FLAIR MR image.
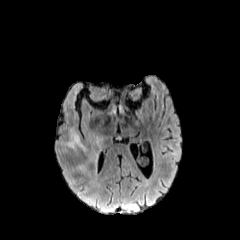
T1-weighted MR.
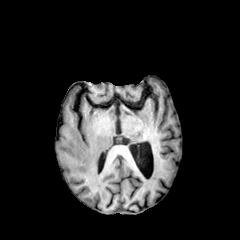
Post-contrast T1-weighted MRI.
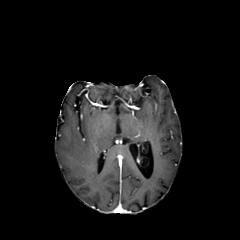
T2-weighted MR image.
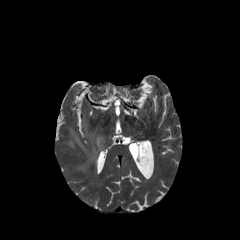
Head.
• peritumoral edema: (left=68, top=132, right=87, bottom=152), (left=74, top=136, right=103, bottom=175)